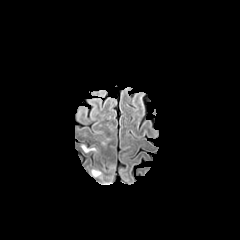
FLAIR magnetic resonance.
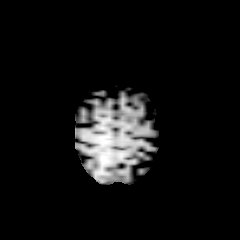
Same slice, T1-weighted MRI.
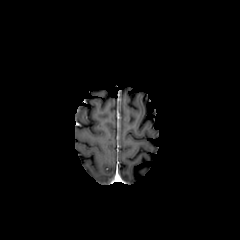
Same slice, post-contrast T1-weighted magnetic resonance.
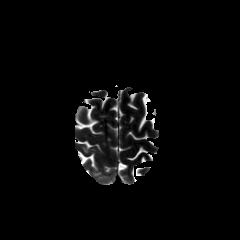
Same slice, T2-weighted MR image.
Brain
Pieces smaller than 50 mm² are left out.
peritumoral edema at [92,170,101,176]